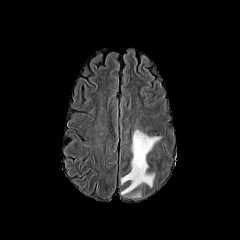
FLAIR MRI.
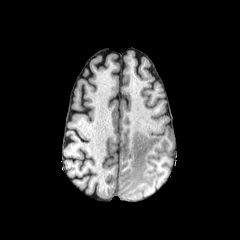
T1-weighted MRI.
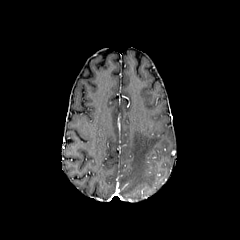
Post-contrast T1-weighted MR image.
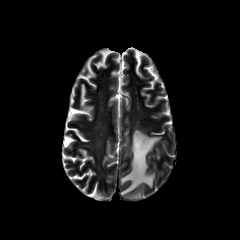
T2-weighted magnetic resonance.
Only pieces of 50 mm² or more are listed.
<segmentation>
  <peritumoral_edema>(120,129,161,195)</peritumoral_edema>
</segmentation>